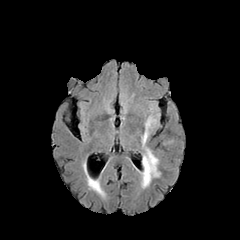
FLAIR MR.
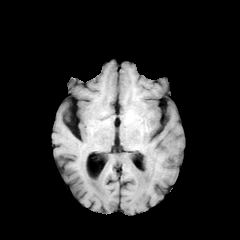
T1-weighted MRI.
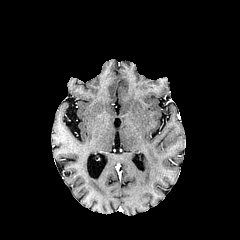
Same slice, post-contrast T1-weighted MR.
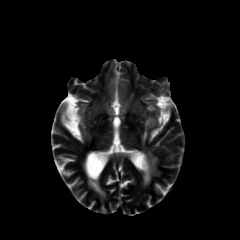
Same slice, T2-weighted MR image.
240x240 | Brain
2 peritumoral edema regions are located at left=142, top=149, right=159, bottom=187; left=142, top=117, right=154, bottom=145.